Brain | Slice index 59
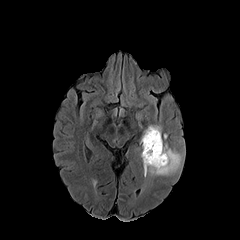
FLAIR MR image.
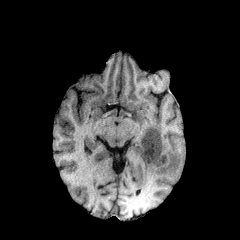
Same slice, T1-weighted MR.
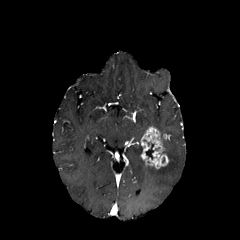
Same slice, post-contrast T1-weighted magnetic resonance.
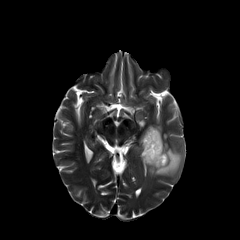
T2-weighted MR.
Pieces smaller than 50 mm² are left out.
Findings:
• necrotic tumor core: 146,144,154,159
• enhancing tumor: 140,126,168,169
• peritumoral edema: 143,143,182,176